FLAIR MR image.
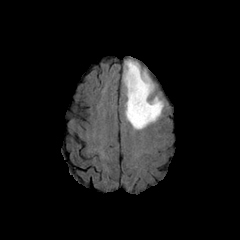
T1-weighted MRI.
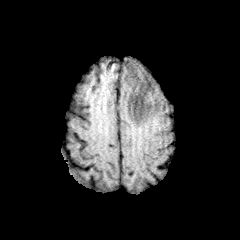
Post-contrast T1-weighted MRI.
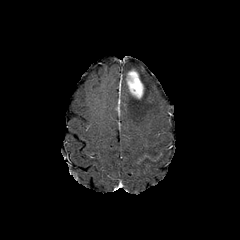
T2-weighted magnetic resonance.
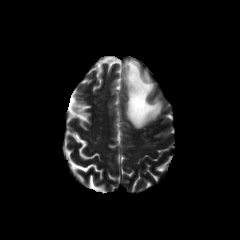
{
  "enhancing_tumor": [
    "<bbox>126, 69, 144, 98</bbox>"
  ],
  "peritumoral_edema": [
    "<bbox>123, 59, 163, 129</bbox>"
  ]
}